FLAIR MR image.
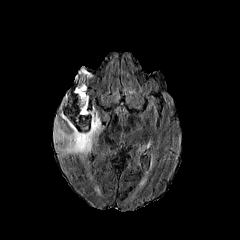
T1-weighted MRI.
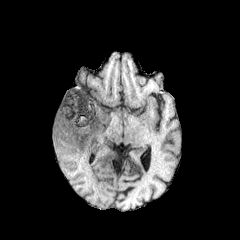
Post-contrast T1-weighted MR image.
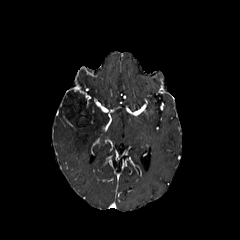
T2-weighted MRI.
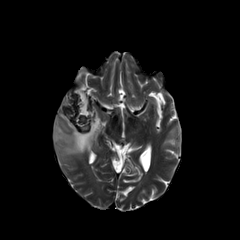
240x240; Brain
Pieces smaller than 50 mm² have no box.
Annotated regions:
- peritumoral edema: bbox=[53, 110, 101, 156]
- enhancing tumor: bbox=[74, 86, 88, 97]
- necrotic tumor core: bbox=[61, 90, 92, 132]